240x240 px; Axial plane
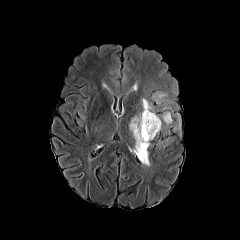
FLAIR magnetic resonance.
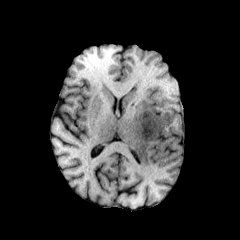
T1-weighted MRI.
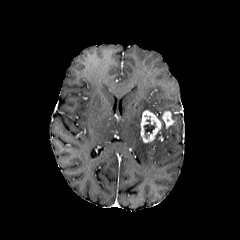
Post-contrast T1-weighted MRI.
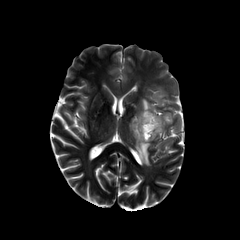
T2-weighted MR image.
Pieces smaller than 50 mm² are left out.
<segmentation>
  <enhancing_tumor>bbox(140, 110, 173, 142)</enhancing_tumor>
  <peritumoral_edema>bbox(153, 92, 165, 103); bbox(129, 113, 150, 166); bbox(142, 99, 154, 113)</peritumoral_edema>
  <necrotic_tumor_core>bbox(144, 123, 155, 138)</necrotic_tumor_core>
</segmentation>